FLAIR MR image.
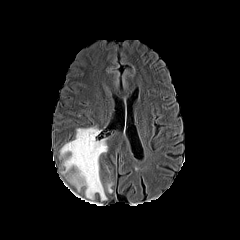
T1-weighted magnetic resonance.
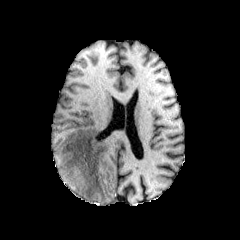
Post-contrast T1-weighted MR.
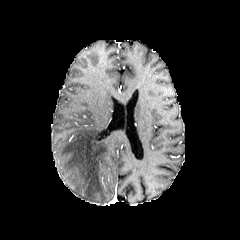
T2-weighted magnetic resonance.
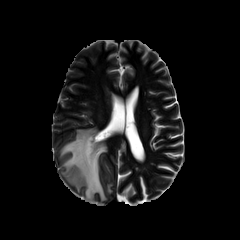
Axial view
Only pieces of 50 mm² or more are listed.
Findings:
* peritumoral edema: [60, 127, 107, 200]